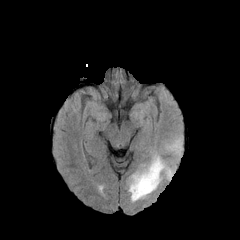
FLAIR MRI.
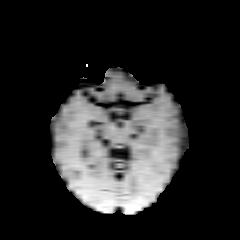
Same slice, T1-weighted MRI.
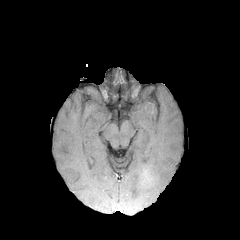
Post-contrast T1-weighted MRI of the same slice.
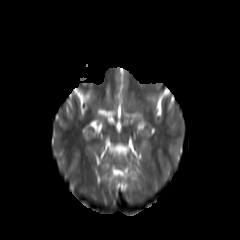
T2-weighted magnetic resonance.
Axial view; Brain
2 peritumoral edema regions are located at 128:154:171:202, 165:139:181:154. The enhancing tumor is at 143:171:152:181.